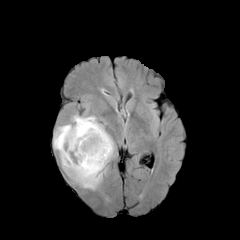
FLAIR magnetic resonance.
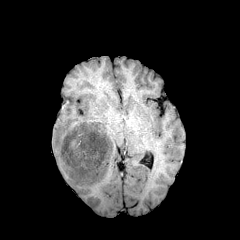
T1-weighted MRI.
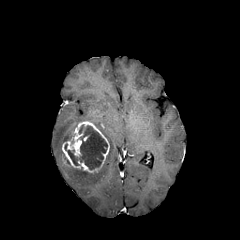
Same slice, post-contrast T1-weighted magnetic resonance.
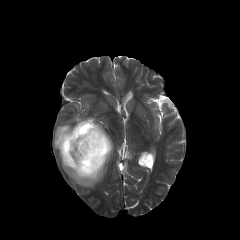
Same slice, T2-weighted MR.
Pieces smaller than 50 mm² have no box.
Annotated regions:
- enhancing tumor: (61, 121, 109, 173)
- necrotic tumor core: (64, 125, 107, 169)
- peritumoral edema: (53, 115, 114, 189)